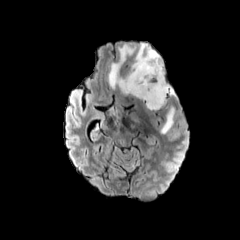
FLAIR magnetic resonance.
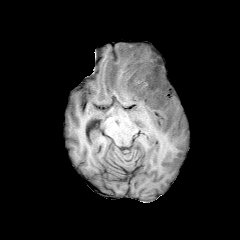
T1-weighted MRI.
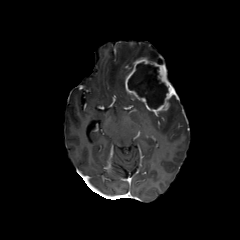
Post-contrast T1-weighted MR image.
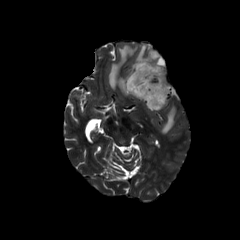
T2-weighted magnetic resonance.
Brain; Axial slice
peritumoral_edema:
  - <bbox>108, 43, 163, 94</bbox>
  - <bbox>160, 95, 175, 133</bbox>
necrotic_tumor_core:
  - <bbox>128, 62, 167, 108</bbox>
enhancing_tumor:
  - <bbox>125, 57, 178, 113</bbox>